240x240 px, Slice index 73
FLAIR MR.
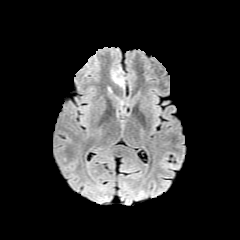
T1-weighted MR image.
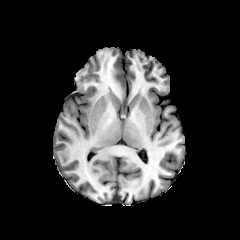
Post-contrast T1-weighted MRI.
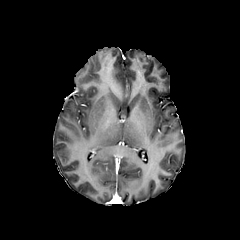
T2-weighted MRI.
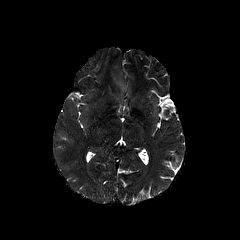
peritumoral edema — 113,75,123,84